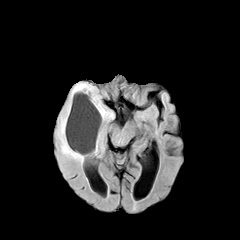
FLAIR MR image.
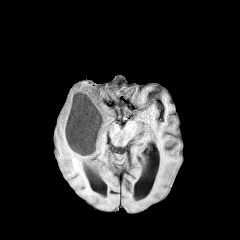
T1-weighted MRI of the same slice.
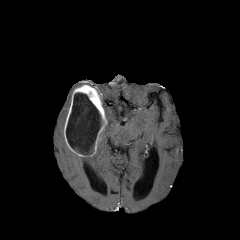
Same slice, post-contrast T1-weighted MR.
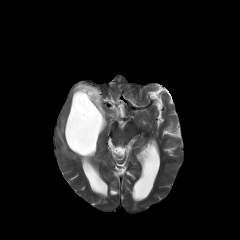
Same slice, T2-weighted MR image.
240x240 px
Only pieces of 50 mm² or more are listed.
The 3 largest peritumoral edema regions are bounded by [56,82,87,163], [94,126,106,154], [103,105,114,122]. The enhancing tumor is located at [63,84,107,156]. The necrotic tumor core is located at [66,93,101,155].